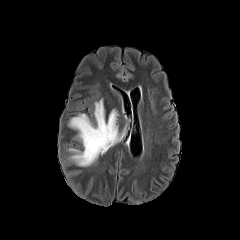
FLAIR MR.
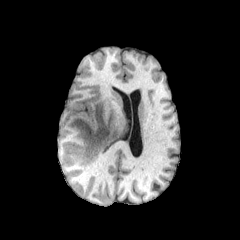
Same slice, T1-weighted MRI.
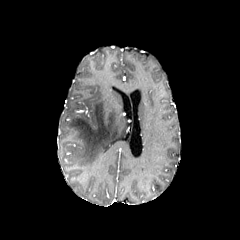
Post-contrast T1-weighted MR.
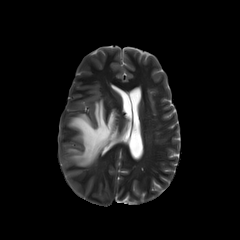
T2-weighted MR image.
Brain | Image size 240x240 | Axial view
The peritumoral edema lies within 69 99 123 166.